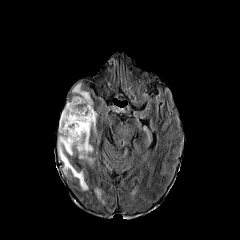
FLAIR MR image.
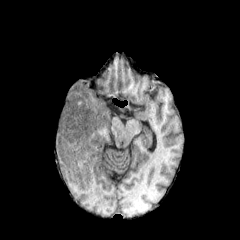
T1-weighted MRI of the same slice.
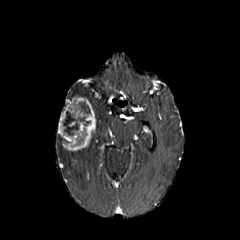
Post-contrast T1-weighted MR.
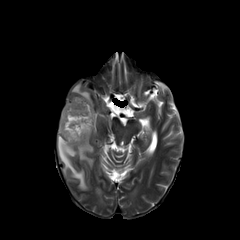
Same slice, T2-weighted MR.
240x240; Brain
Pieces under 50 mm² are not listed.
Findings:
• peritumoral edema: l=72, t=83, r=92, b=107; l=58, t=135, r=93, b=190
• necrotic tumor core: l=78, t=102, r=90, b=113; l=63, t=111, r=85, b=135
• enhancing tumor: l=58, t=96, r=95, b=150